Slice index 112 | Image covers 240 mm x 240 mm | Image size 240x240
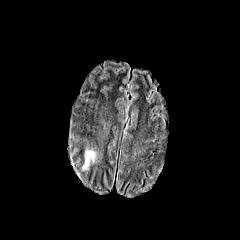
FLAIR MR image.
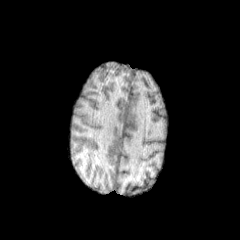
T1-weighted magnetic resonance.
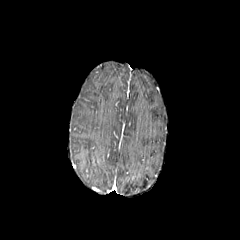
Post-contrast T1-weighted MR image of the same slice.
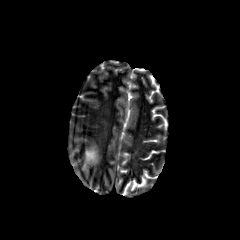
T2-weighted MR image.
peritumoral edema at [82,150,94,171]